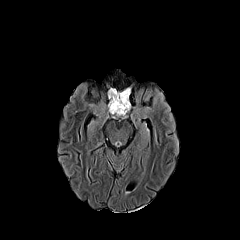
FLAIR MRI.
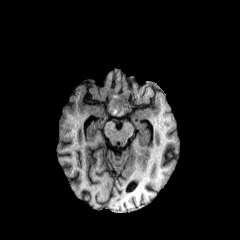
T1-weighted magnetic resonance.
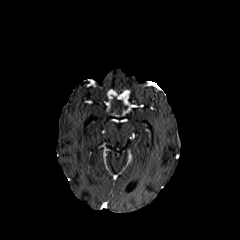
Post-contrast T1-weighted MR.
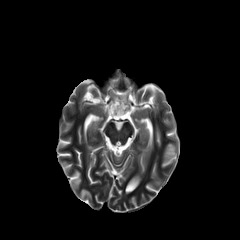
T2-weighted magnetic resonance of the same slice.
240x240; Axial plane
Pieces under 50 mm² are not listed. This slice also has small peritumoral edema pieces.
Segmented structures:
- necrotic tumor core: 110, 97, 127, 114
- enhancing tumor: 108, 91, 130, 116